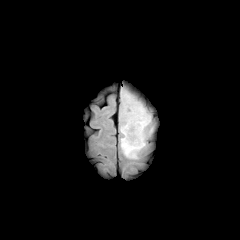
FLAIR MR image.
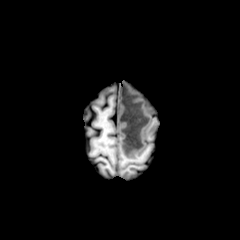
Same slice, T1-weighted MR image.
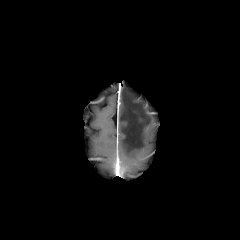
Post-contrast T1-weighted MR.
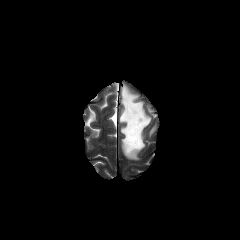
T2-weighted MR of the same slice.
Axial slice
* peritumoral edema: left=120, top=91, right=150, bottom=158